Slice index 48. Axial view. Head. Image width 240 mm.
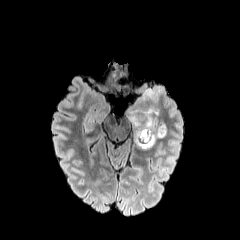
FLAIR magnetic resonance.
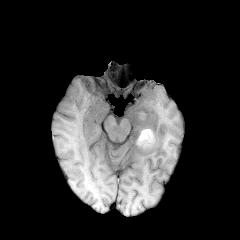
T1-weighted MR image.
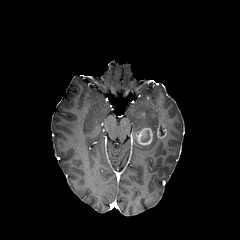
Post-contrast T1-weighted MR image.
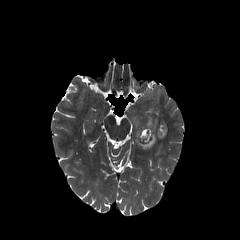
T2-weighted MR of the same slice.
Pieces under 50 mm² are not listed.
<segmentation>
  <necrotic_tumor_core>141 131 150 142</necrotic_tumor_core>
  <peritumoral_edema>129 109 154 130, 134 134 156 148</peritumoral_edema>
  <enhancing_tumor>156 124 166 138, 134 128 153 145</enhancing_tumor>
</segmentation>